FLAIR MR image.
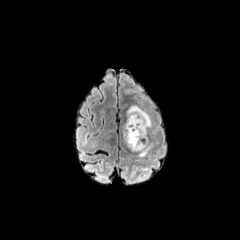
T1-weighted MR.
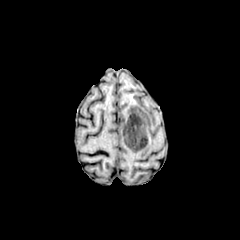
Post-contrast T1-weighted MR.
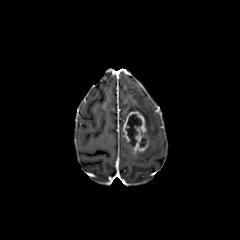
T2-weighted MR image.
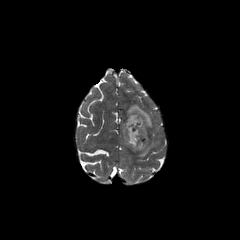
Axial plane
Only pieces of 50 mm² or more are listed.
peritumoral edema: (left=126, top=105, right=152, bottom=136), (left=137, top=144, right=152, bottom=157) | necrotic tumor core: (left=126, top=114, right=141, bottom=146) | enhancing tumor: (left=122, top=111, right=148, bottom=152)